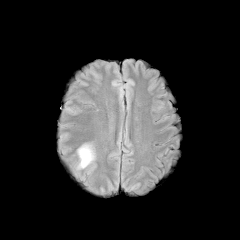
FLAIR MR.
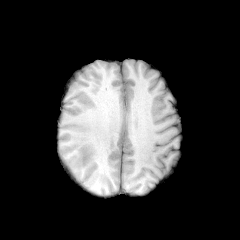
Same slice, T1-weighted MR.
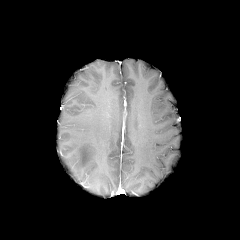
Same slice, post-contrast T1-weighted MRI.
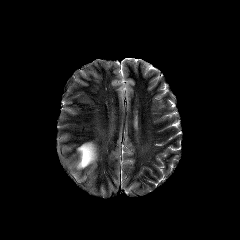
T2-weighted MRI.
Head; Axial slice
peritumoral edema — 78:143:95:168